FLAIR MR.
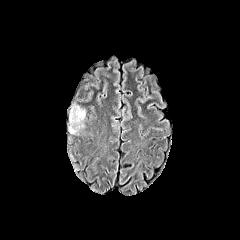
T1-weighted magnetic resonance.
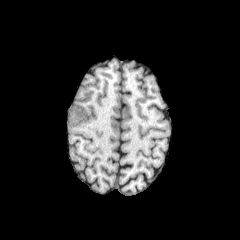
Post-contrast T1-weighted MR.
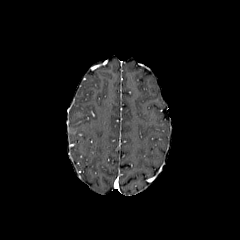
T2-weighted MR.
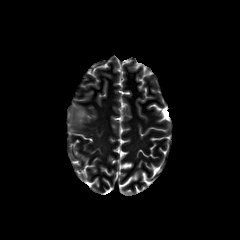
Brain
2 peritumoral edema regions are located at box(70, 106, 85, 124); box(69, 124, 83, 133).